240x240 px, Axial plane, Slice 48/155
FLAIR magnetic resonance.
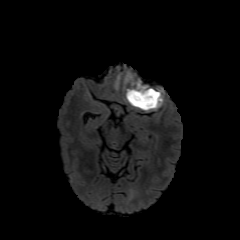
T1-weighted MR image.
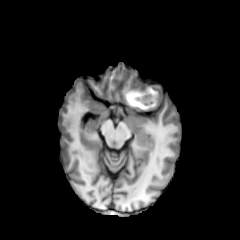
Post-contrast T1-weighted MR.
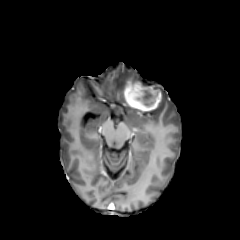
T2-weighted MR.
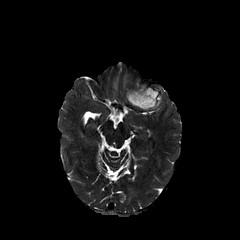
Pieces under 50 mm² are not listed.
necrotic_tumor_core:
  - rect(129, 89, 158, 106)
enhancing_tumor:
  - rect(124, 77, 162, 111)
peritumoral_edema:
  - rect(114, 74, 120, 89)